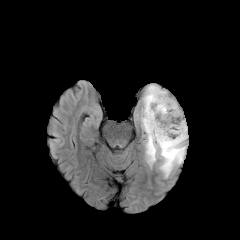
FLAIR MRI.
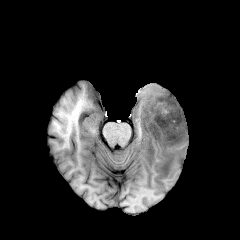
T1-weighted magnetic resonance.
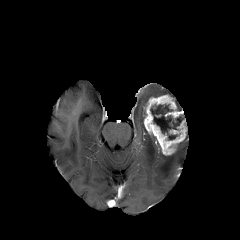
Post-contrast T1-weighted magnetic resonance.
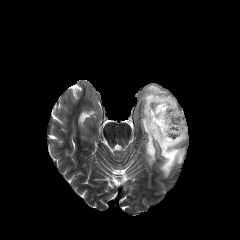
Same slice, T2-weighted MRI.
Brain. 240x240.
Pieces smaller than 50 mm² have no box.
The largest peritumoral edema region is at bbox(140, 84, 186, 178). The largest enhancing tumor region lies within bbox(143, 94, 187, 155). The largest necrotic tumor core region is at bbox(150, 105, 182, 133).